FLAIR MR.
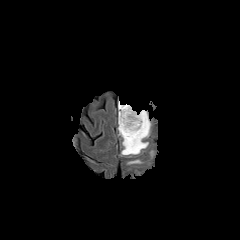
T1-weighted MR image.
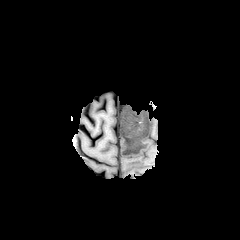
Post-contrast T1-weighted MRI.
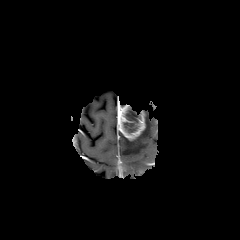
T2-weighted MR.
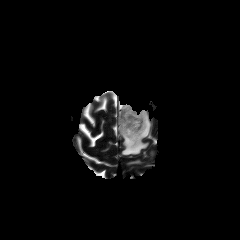
Axial plane | Head
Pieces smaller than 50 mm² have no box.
enhancing tumor at bbox(118, 104, 145, 140)
necrotic tumor core at bbox(124, 107, 139, 132)
peritumoral edema at bbox(117, 102, 151, 155); bbox(127, 159, 141, 164)